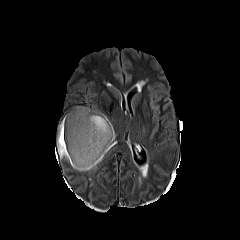
FLAIR MRI.
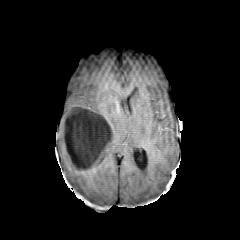
T1-weighted MRI.
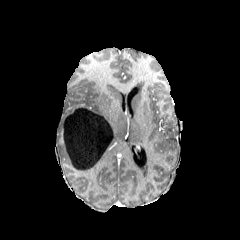
Post-contrast T1-weighted MRI.
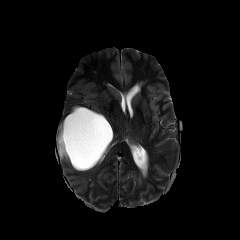
Same slice, T2-weighted MR.
Head. Axial plane.
<segmentation>
  <peritumoral_edema>bbox(56, 114, 106, 171); bbox(69, 106, 115, 145)</peritumoral_edema>
  <necrotic_tumor_core>bbox(62, 107, 112, 169)</necrotic_tumor_core>
</segmentation>